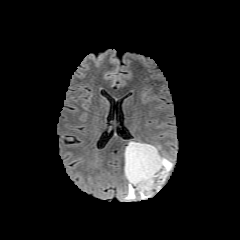
FLAIR MR image.
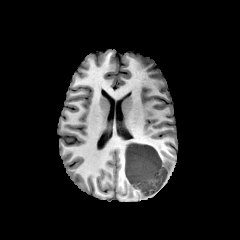
T1-weighted magnetic resonance.
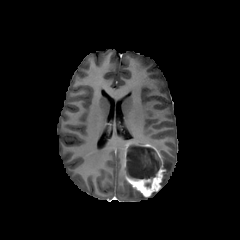
Post-contrast T1-weighted magnetic resonance.
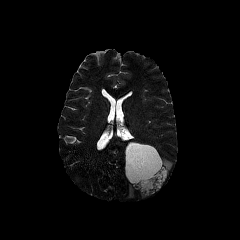
T2-weighted MR image.
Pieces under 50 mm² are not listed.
necrotic tumor core — (left=126, top=145, right=160, bottom=178)
peritumoral edema — (left=160, top=157, right=172, bottom=185), (left=125, top=183, right=135, bottom=199)
enhancing tumor — (left=124, top=141, right=165, bottom=196)